Slice 53 of 155 | Axial slice | Brain
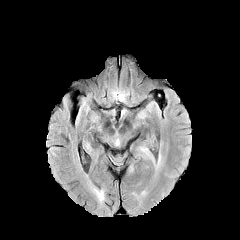
FLAIR MR.
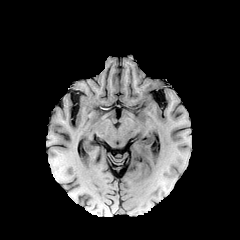
T1-weighted magnetic resonance.
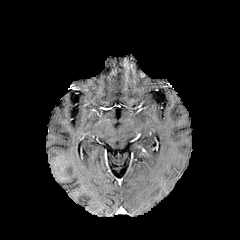
Post-contrast T1-weighted MR image.
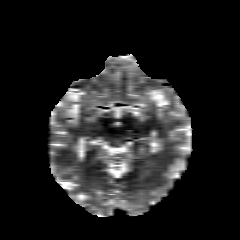
T2-weighted MR image.
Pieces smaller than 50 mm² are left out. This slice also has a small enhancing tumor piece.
The largest peritumoral edema region is at region(142, 148, 153, 161).